Image width 240 mm; Head; Slice index 39
FLAIR MR image.
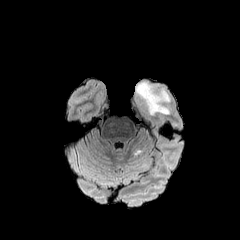
T1-weighted magnetic resonance.
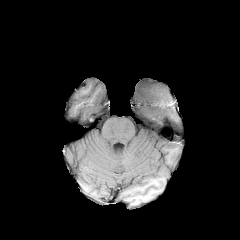
Post-contrast T1-weighted MR image.
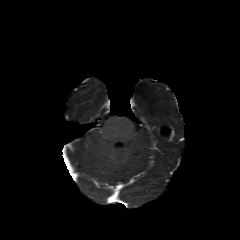
T2-weighted MR image.
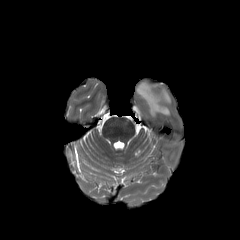
peritumoral edema at (x1=133, y1=81, x2=171, y2=117)